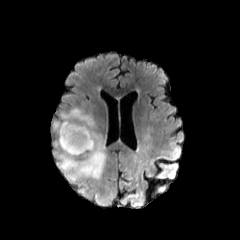
FLAIR MR.
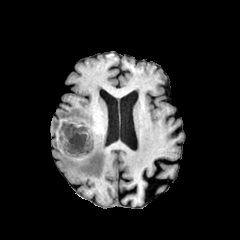
Same slice, T1-weighted magnetic resonance.
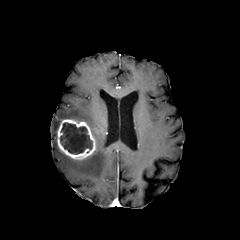
Post-contrast T1-weighted MRI.
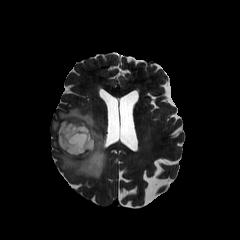
Same slice, T2-weighted magnetic resonance.
Axial slice, Head
<segmentation>
  <necrotic_tumor_core>box=[60, 122, 92, 154]</necrotic_tumor_core>
  <enhancing_tumor>box=[57, 119, 96, 159]</enhancing_tumor>
  <peritumoral_edema>box=[52, 107, 106, 201]</peritumoral_edema>
</segmentation>